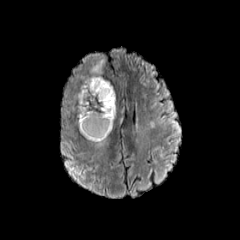
FLAIR MRI.
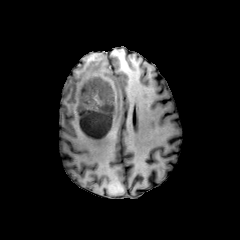
Same slice, T1-weighted MRI.
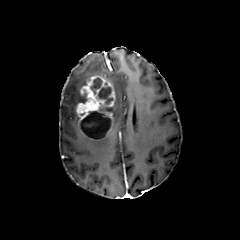
Post-contrast T1-weighted MR.
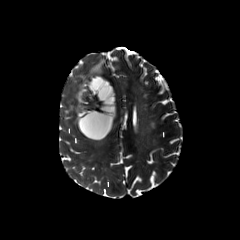
T2-weighted magnetic resonance.
Brain
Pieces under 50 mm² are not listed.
The largest peritumoral edema region is located at bbox(66, 58, 105, 113). The largest enhancing tumor region is bounded by bbox(76, 76, 115, 136). The 4 largest necrotic tumor core regions are located at bbox(90, 78, 102, 93); bbox(80, 111, 110, 139); bbox(97, 86, 112, 103); bbox(99, 107, 112, 111).